Head
FLAIR MR image.
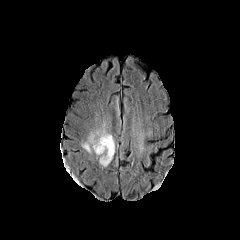
T1-weighted MR image.
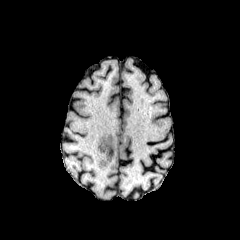
Post-contrast T1-weighted MRI.
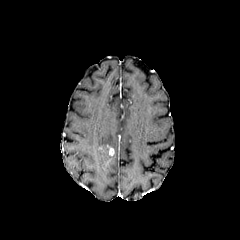
T2-weighted MRI.
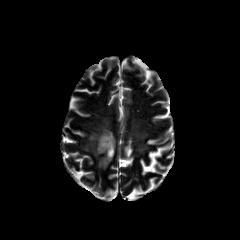
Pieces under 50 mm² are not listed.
- enhancing tumor: [99,145,114,156]
- peritumoral edema: [89,124,115,165]